Axial view. Slice index 70.
FLAIR magnetic resonance.
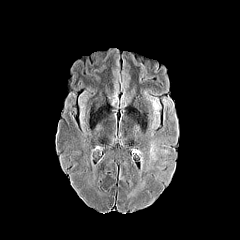
T1-weighted MRI.
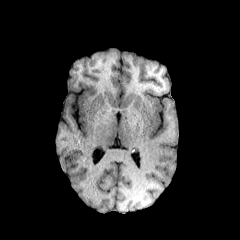
Post-contrast T1-weighted magnetic resonance.
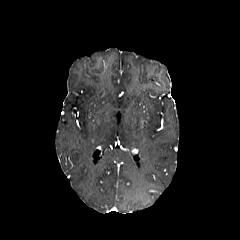
T2-weighted MR image.
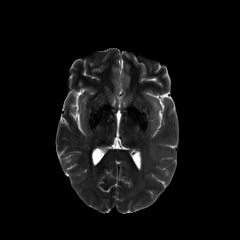
Findings:
- peritumoral edema: box(150, 138, 175, 160)